Axial view.
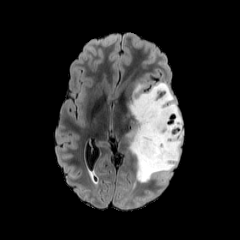
FLAIR MR image.
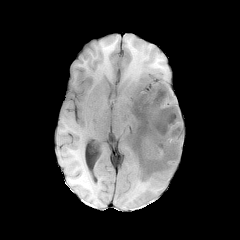
Same slice, T1-weighted magnetic resonance.
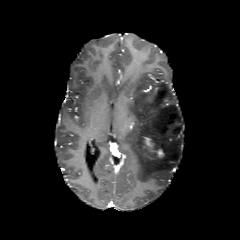
Post-contrast T1-weighted MR image.
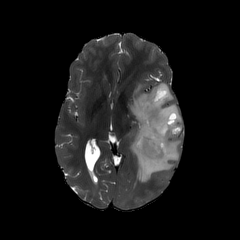
T2-weighted MR.
The enhancing tumor is located at (left=144, top=137, right=164, bottom=159). The peritumoral edema appears at (left=129, top=82, right=183, bottom=182).